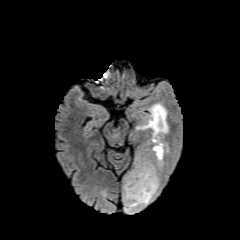
FLAIR MR image.
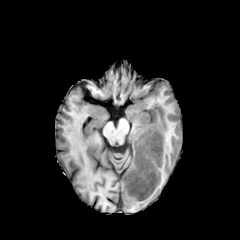
Same slice, T1-weighted MR image.
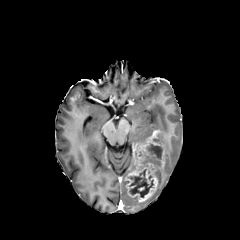
Post-contrast T1-weighted MR.
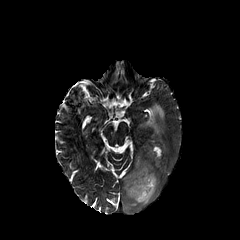
T2-weighted MR of the same slice.
Axial slice, 240x240 px
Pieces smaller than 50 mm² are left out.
necrotic_tumor_core:
  - bbox(147, 144, 161, 159)
  - bbox(128, 169, 153, 197)
enhancing_tumor:
  - bbox(125, 129, 163, 202)
peritumoral_edema:
  - bbox(147, 157, 162, 169)
  - bbox(123, 170, 159, 212)
  - bbox(136, 103, 168, 138)